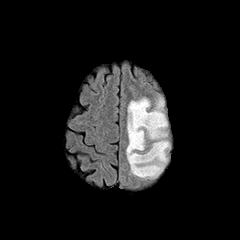
FLAIR MR image.
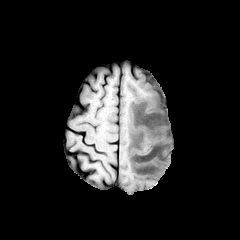
T1-weighted MR.
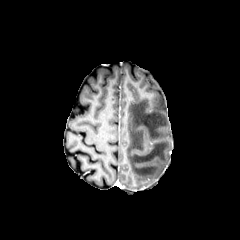
Post-contrast T1-weighted MR image.
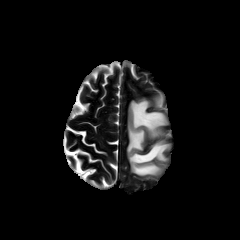
Same slice, T2-weighted MR.
Axial view
Segmented structures:
- peritumoral edema: (126, 95, 170, 178)